Axial view.
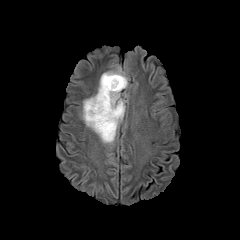
FLAIR magnetic resonance.
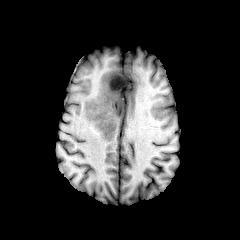
T1-weighted MR image.
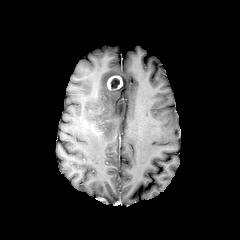
Post-contrast T1-weighted MR of the same slice.
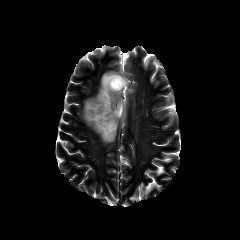
T2-weighted MR.
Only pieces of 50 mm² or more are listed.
necrotic tumor core — l=111, t=78, r=119, b=88
peritumoral edema — l=82, t=66, r=128, b=143
enhancing tumor — l=107, t=75, r=122, b=90